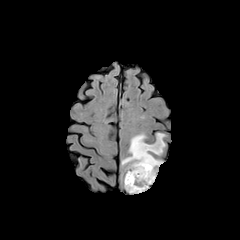
FLAIR magnetic resonance.
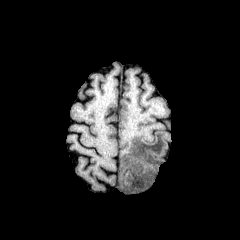
T1-weighted MRI.
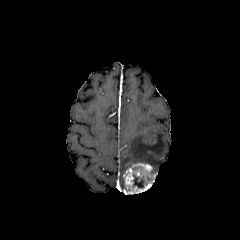
Same slice, post-contrast T1-weighted MRI.
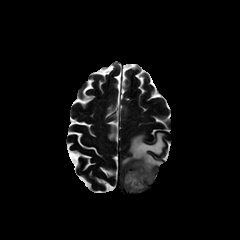
Same slice, T2-weighted MR.
Axial plane, 240x240 px
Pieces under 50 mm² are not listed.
{"peritumoral_edema": ["box=[121, 133, 165, 172]"], "necrotic_tumor_core": ["box=[133, 175, 144, 187]"], "enhancing_tumor": ["box=[124, 162, 155, 193]"]}